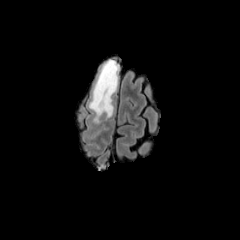
FLAIR MRI.
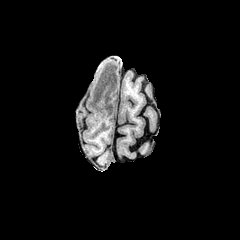
T1-weighted MR image.
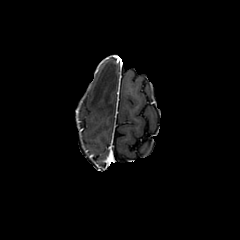
Post-contrast T1-weighted MR of the same slice.
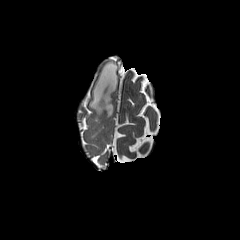
T2-weighted MR.
Axial view | Head
peritumoral edema — 89 59 119 123